Brain, Slice index 72
FLAIR magnetic resonance.
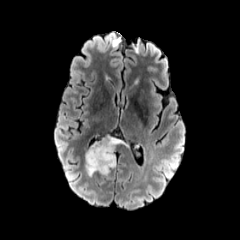
T1-weighted magnetic resonance.
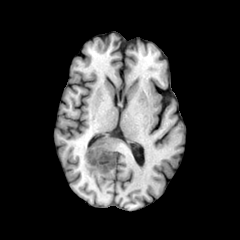
Post-contrast T1-weighted magnetic resonance.
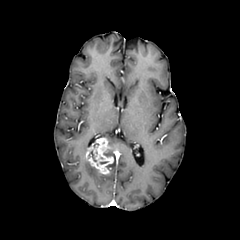
T2-weighted MR.
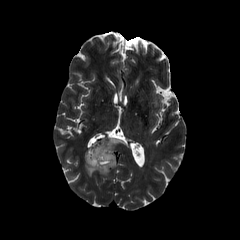
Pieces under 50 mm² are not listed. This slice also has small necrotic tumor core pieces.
The 2 largest peritumoral edema regions appear at (85,160,97,175), (106,137,120,150). The enhancing tumor is located at (85,137,115,174).